FLAIR MR image.
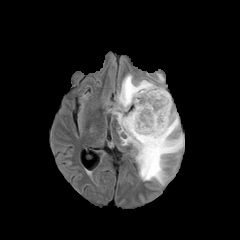
T1-weighted magnetic resonance.
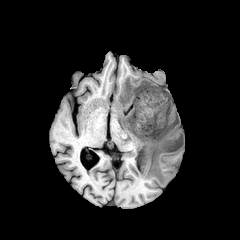
Post-contrast T1-weighted MR image.
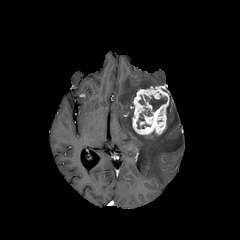
T2-weighted MRI.
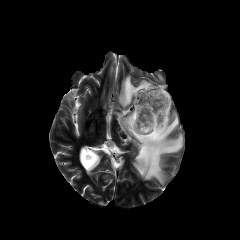
240x240. Head.
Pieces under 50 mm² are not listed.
Findings:
- peritumoral edema: (112, 75, 184, 184)
- necrotic tumor core: (149, 96, 166, 111)
- enhancing tumor: (132, 85, 171, 138)